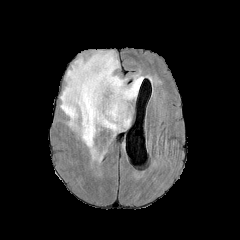
FLAIR MR image.
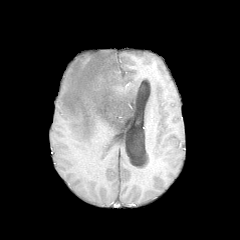
T1-weighted MR image.
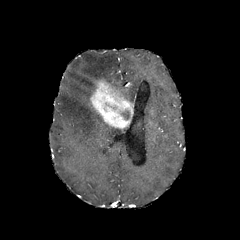
Post-contrast T1-weighted magnetic resonance.
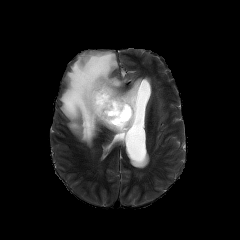
T2-weighted magnetic resonance.
240x240
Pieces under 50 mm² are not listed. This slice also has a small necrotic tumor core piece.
The largest peritumoral edema region is located at l=60, t=51, r=150, b=158. The enhancing tumor is located at l=89, t=78, r=133, b=130.